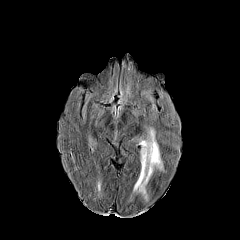
FLAIR magnetic resonance.
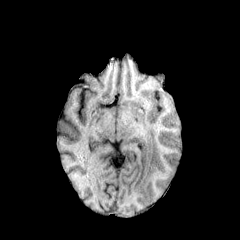
T1-weighted MRI of the same slice.
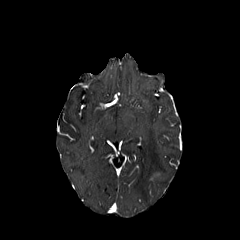
Post-contrast T1-weighted MRI.
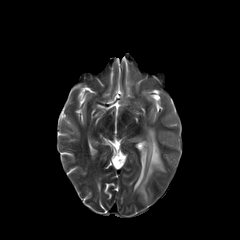
T2-weighted magnetic resonance.
Head
The peritumoral edema is at l=133, t=128, r=163, b=200.